Brain. Slice index 32. 240x240.
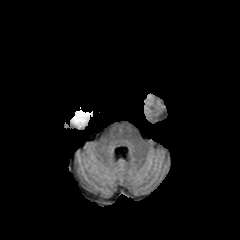
FLAIR MR image.
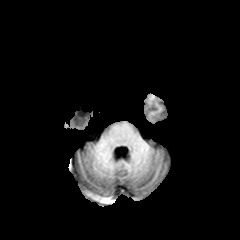
T1-weighted magnetic resonance.
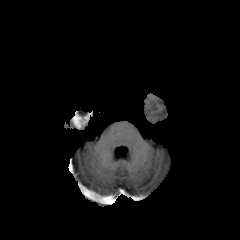
Post-contrast T1-weighted MRI.
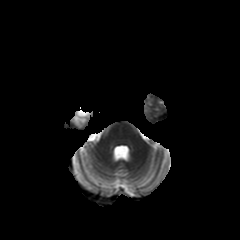
Same slice, T2-weighted MR image.
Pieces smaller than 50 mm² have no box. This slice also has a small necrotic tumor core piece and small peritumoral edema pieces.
The enhancing tumor is at <bbox>71, 111, 91, 128</bbox>.